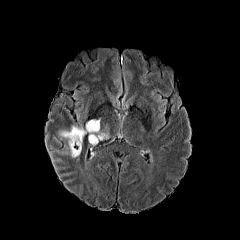
FLAIR MRI.
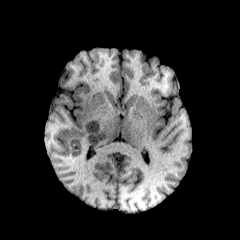
T1-weighted MR.
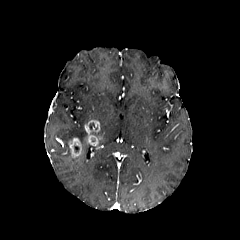
Post-contrast T1-weighted MR of the same slice.
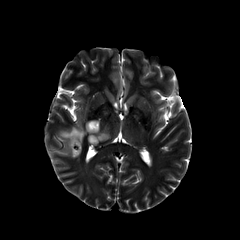
T2-weighted MR of the same slice.
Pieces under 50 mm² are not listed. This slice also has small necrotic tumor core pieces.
peritumoral edema = <bbox>60, 126, 86, 143</bbox>
enhancing tumor = <bbox>68, 138, 81, 157</bbox>, <bbox>85, 120, 103, 145</bbox>